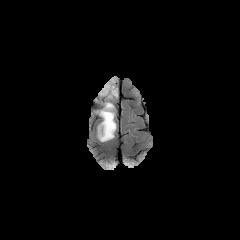
FLAIR MR image.
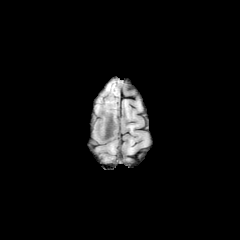
T1-weighted MR image.
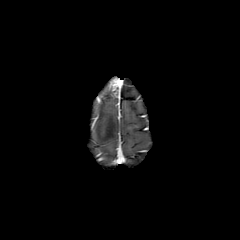
Same slice, post-contrast T1-weighted magnetic resonance.
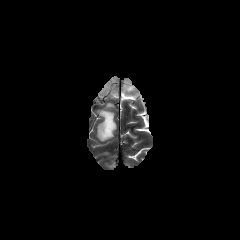
Same slice, T2-weighted MR.
240x240 px, Brain
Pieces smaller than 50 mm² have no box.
Segmented structures:
• peritumoral edema: (left=98, top=102, right=116, bottom=141)
• enhancing tumor: (left=108, top=78, right=118, bottom=97)